FLAIR MRI.
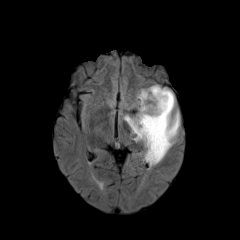
T1-weighted MR.
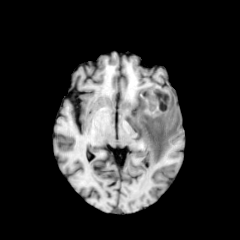
Post-contrast T1-weighted magnetic resonance.
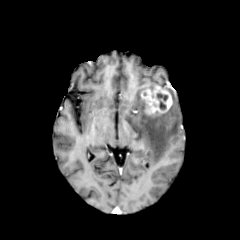
T2-weighted MRI.
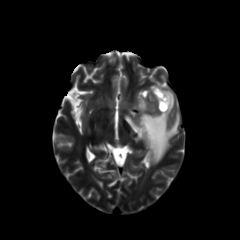
Axial view | Head
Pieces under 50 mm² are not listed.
Segmented structures:
- necrotic tumor core: box(156, 93, 167, 110)
- enhancing tumor: box(139, 86, 171, 116)
- peritumoral edema: box(126, 86, 180, 163)